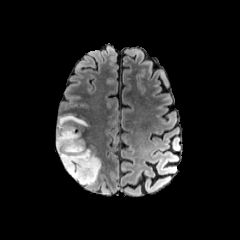
FLAIR MR.
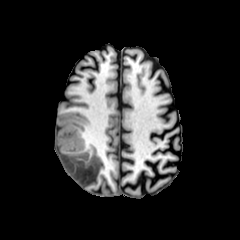
T1-weighted magnetic resonance of the same slice.
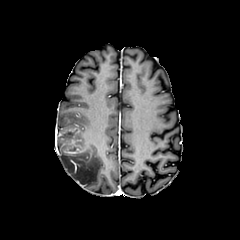
Post-contrast T1-weighted MR.
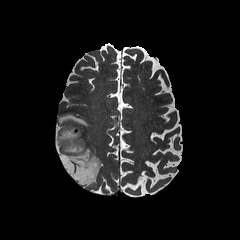
T2-weighted MRI.
240x240 px
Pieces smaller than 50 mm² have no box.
The largest necrotic tumor core region appears at [x1=60, y1=131, x2=74, y2=138]. The enhancing tumor is at [x1=56, y1=118, x2=87, y2=155]. The peritumoral edema lies within [x1=56, y1=111, x2=101, y2=186].